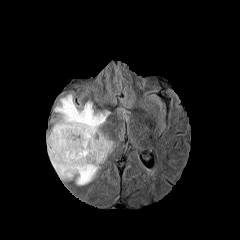
FLAIR MR.
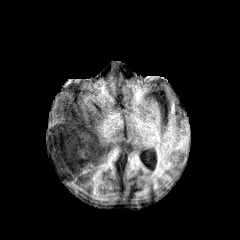
T1-weighted MRI.
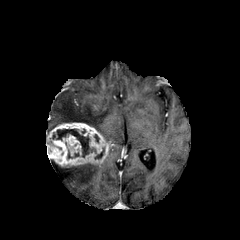
Same slice, post-contrast T1-weighted MR.
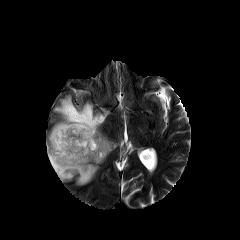
T2-weighted magnetic resonance.
Head
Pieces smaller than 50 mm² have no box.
enhancing_tumor:
  - bbox(46, 122, 112, 167)
peritumoral_edema:
  - bbox(52, 94, 110, 141)
  - bbox(51, 160, 100, 185)
necrotic_tumor_core:
  - bbox(56, 129, 95, 157)
  - bbox(95, 148, 104, 159)